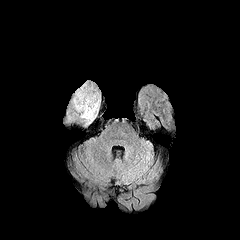
FLAIR MR.
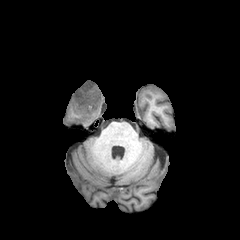
T1-weighted MR image.
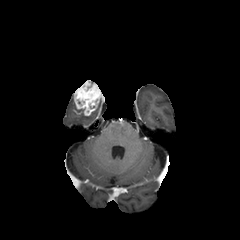
Post-contrast T1-weighted MRI of the same slice.
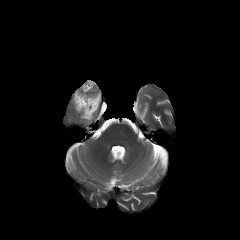
T2-weighted MRI.
Head
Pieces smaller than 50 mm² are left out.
peritumoral_edema:
  - box=[72, 99, 99, 123]
enhancing_tumor:
  - box=[73, 80, 101, 115]